240x240 px; Slice 61/155; Axial view
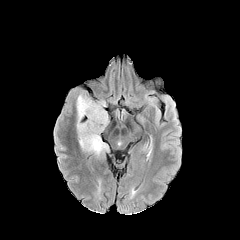
FLAIR MRI.
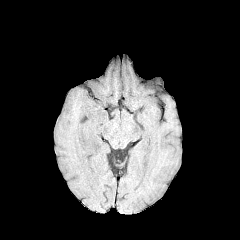
Same slice, T1-weighted magnetic resonance.
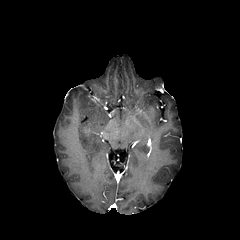
Post-contrast T1-weighted MRI of the same slice.
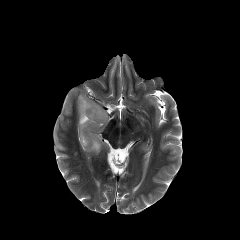
T2-weighted MR of the same slice.
peritumoral edema: left=76, top=91, right=108, bottom=157